Image width 240 mm, 1.00 mm slice spacing | Head | Axial view
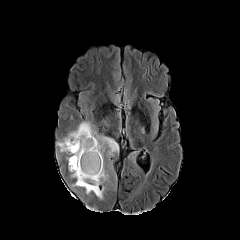
FLAIR MR image.
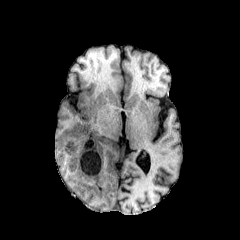
T1-weighted MRI of the same slice.
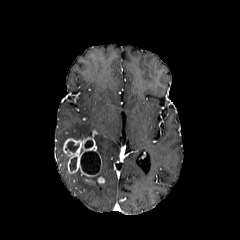
Post-contrast T1-weighted magnetic resonance.
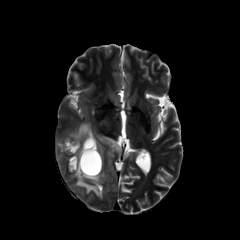
Same slice, T2-weighted MRI.
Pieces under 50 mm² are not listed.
necrotic tumor core = [x1=80, y1=151, x2=100, y2=174], [x1=69, y1=157, x2=76, y2=170], [x1=85, y1=140, x2=93, y2=148], [x1=65, y1=141, x2=78, y2=152]
peritumoral edema = [x1=56, y1=122, x2=92, y2=152], [x1=71, y1=135, x2=119, y2=199]
enhancing tumor = [x1=63, y1=135, x2=102, y2=177]